Head | Axial view
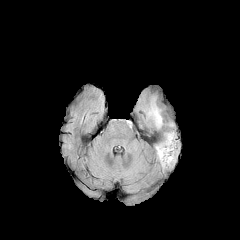
FLAIR MR image.
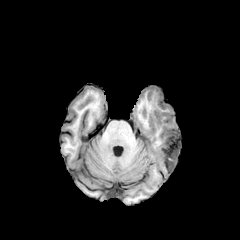
T1-weighted magnetic resonance.
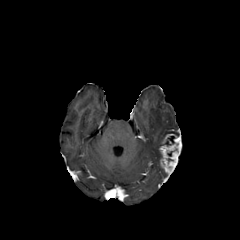
Post-contrast T1-weighted MRI of the same slice.
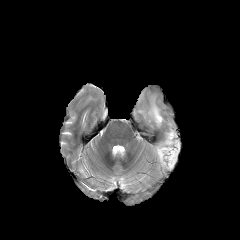
T2-weighted MR of the same slice.
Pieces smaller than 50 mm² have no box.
{
  "enhancing_tumor": [
    "box=[159, 133, 181, 172]"
  ],
  "necrotic_tumor_core": [
    "box=[162, 136, 175, 145]"
  ],
  "peritumoral_edema": [
    "box=[149, 106, 162, 126]",
    "box=[156, 144, 162, 159]"
  ]
}